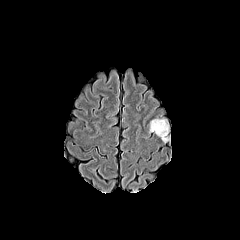
FLAIR magnetic resonance.
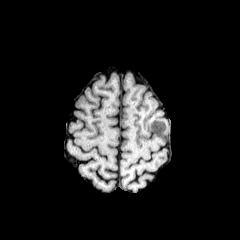
T1-weighted MR image.
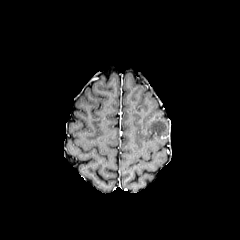
Post-contrast T1-weighted MR of the same slice.
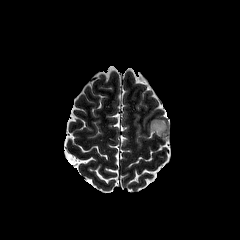
T2-weighted magnetic resonance of the same slice.
Brain
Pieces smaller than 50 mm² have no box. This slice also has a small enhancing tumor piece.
The largest peritumoral edema region is located at x1=150, y1=119, x2=168, y2=136.